FLAIR MRI.
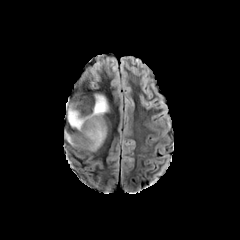
T1-weighted MR.
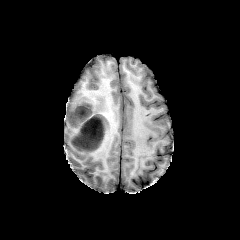
Post-contrast T1-weighted MR image.
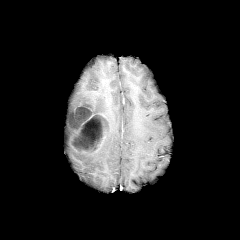
T2-weighted MR.
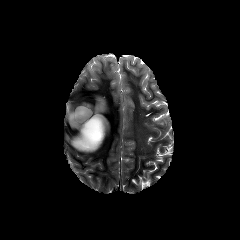
Head
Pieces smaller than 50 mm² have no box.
{
  "peritumoral_edema": [
    "(left=93, top=93, right=112, bottom=114)",
    "(left=66, top=102, right=83, bottom=129)"
  ],
  "enhancing_tumor": [
    "(left=69, top=106, right=107, bottom=151)"
  ],
  "necrotic_tumor_core": [
    "(left=74, top=115, right=103, bottom=149)",
    "(left=77, top=108, right=90, bottom=118)"
  ]
}